Head; Axial slice; Slice 118/155; Image width 240 mm
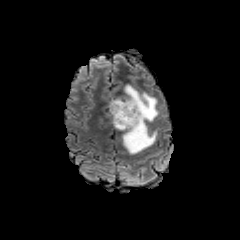
FLAIR magnetic resonance.
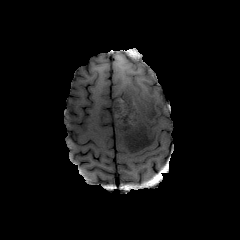
Same slice, T1-weighted MR.
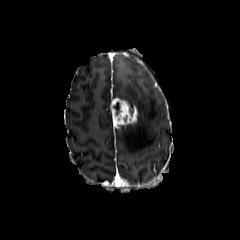
Post-contrast T1-weighted MR image.
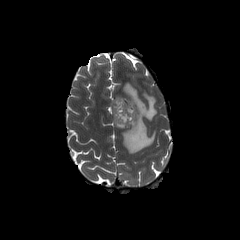
T2-weighted MR image.
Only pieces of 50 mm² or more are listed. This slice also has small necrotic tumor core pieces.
The enhancing tumor lies within [110,97,138,128]. The largest peritumoral edema region is located at [118,84,158,154].